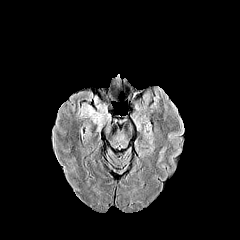
FLAIR MR.
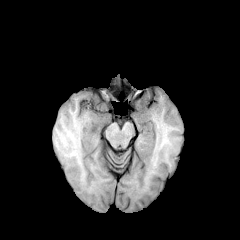
T1-weighted MRI.
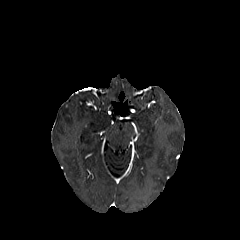
Post-contrast T1-weighted MR image of the same slice.
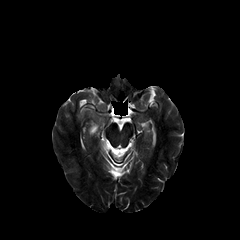
T2-weighted magnetic resonance.
Image size 240x240. Head.
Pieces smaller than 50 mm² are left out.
- peritumoral edema: left=87, top=110, right=103, bottom=125